Brain. Slice index 117. Axial slice. Image size 240x240.
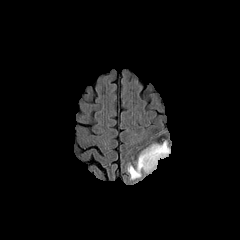
FLAIR magnetic resonance.
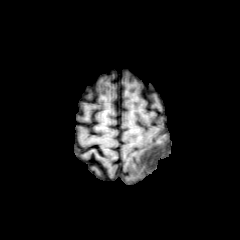
T1-weighted MR.
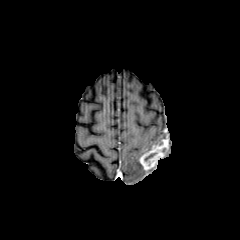
Post-contrast T1-weighted magnetic resonance.
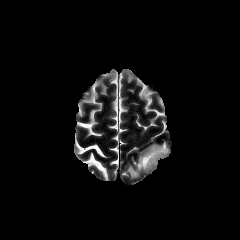
T2-weighted MR.
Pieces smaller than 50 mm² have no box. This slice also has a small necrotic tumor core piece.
enhancing_tumor:
  - left=139, top=140, right=169, bottom=171
peritumoral_edema:
  - left=127, top=144, right=157, bottom=179